FLAIR magnetic resonance.
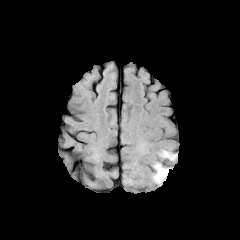
T1-weighted MR.
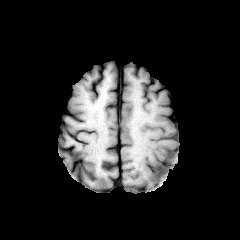
Post-contrast T1-weighted magnetic resonance.
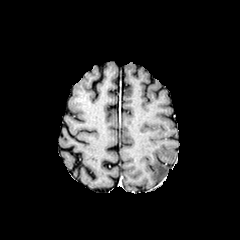
T2-weighted MRI.
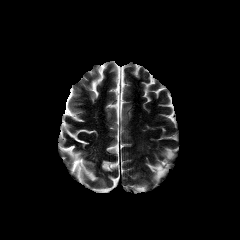
peritumoral edema: bbox(153, 163, 168, 182); bbox(161, 151, 176, 159)